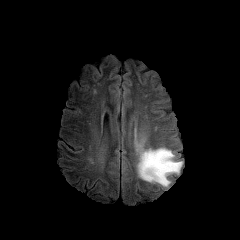
FLAIR MR.
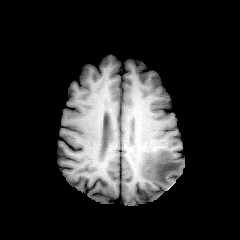
T1-weighted MR.
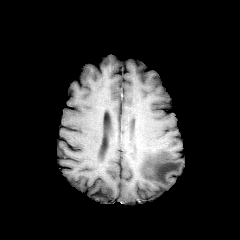
Post-contrast T1-weighted MR.
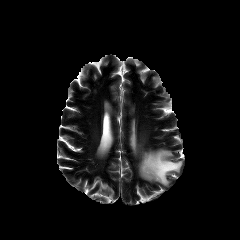
T2-weighted magnetic resonance.
240x240; Head
{"peritumoral_edema": ["[138, 148, 182, 186]"]}